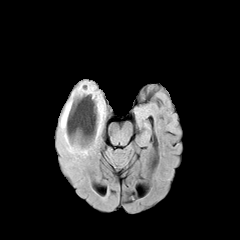
FLAIR MRI.
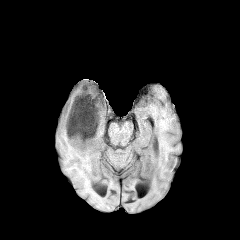
T1-weighted MR image.
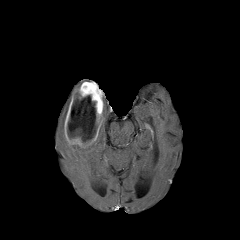
Post-contrast T1-weighted MR.
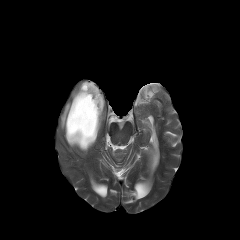
T2-weighted magnetic resonance.
Head, Axial view
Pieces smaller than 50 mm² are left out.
necrotic tumor core — {"x1": 67, "y1": 92, "x2": 96, "y2": 142}
enhancing tumor — {"x1": 64, "y1": 81, "x2": 103, "y2": 148}
peritumoral edema — {"x1": 59, "y1": 94, "x2": 106, "y2": 156}